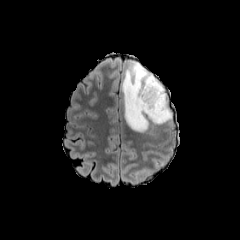
FLAIR MR image.
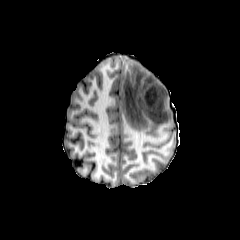
Same slice, T1-weighted magnetic resonance.
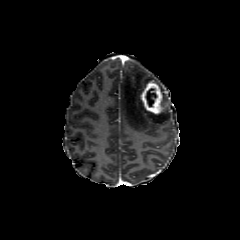
Post-contrast T1-weighted MRI of the same slice.
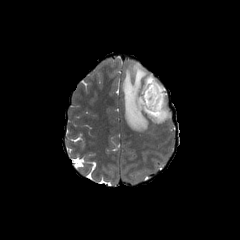
T2-weighted MRI.
Head, Axial slice
<segmentation>
  <peritumoral_edema>121,62,171,132</peritumoral_edema>
  <necrotic_tumor_core>146,88,156,106</necrotic_tumor_core>
  <enhancing_tumor>139,80,162,114</enhancing_tumor>
</segmentation>